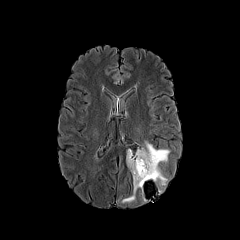
FLAIR MR.
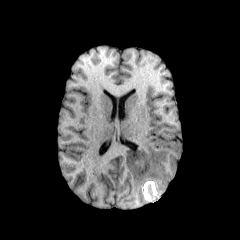
Same slice, T1-weighted magnetic resonance.
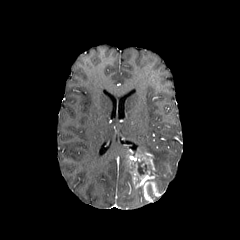
Post-contrast T1-weighted MR.
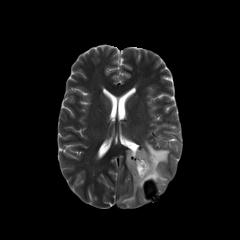
T2-weighted magnetic resonance.
Head
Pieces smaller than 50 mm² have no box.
Findings:
• necrotic tumor core: (134,160,147,175)
• enhancing tumor: (127,149,157,188)
• peritumoral edema: (118,184,145,203), (141,141,169,192)